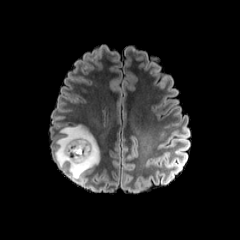
FLAIR MR.
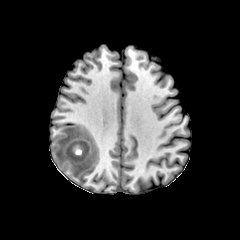
Same slice, T1-weighted magnetic resonance.
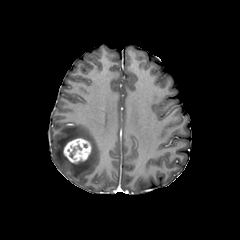
Same slice, post-contrast T1-weighted magnetic resonance.
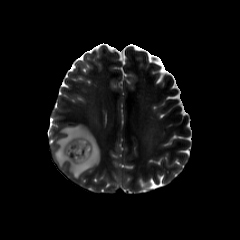
T2-weighted magnetic resonance of the same slice.
Brain | 240x240
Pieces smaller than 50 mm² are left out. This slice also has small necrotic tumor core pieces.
enhancing tumor: (62,138,91,163) | peritumoral edema: (53,124,99,180)